FLAIR MR image.
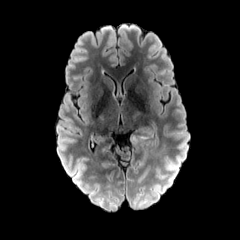
T1-weighted MRI.
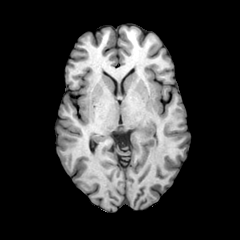
Post-contrast T1-weighted MRI.
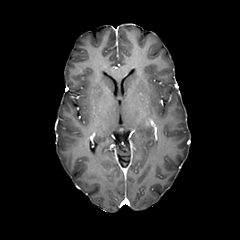
T2-weighted MRI.
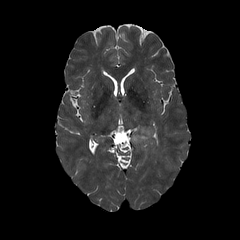
Axial slice
<segmentation>
  <peritumoral_edema>{"x1": 131, "y1": 128, "x2": 152, "y2": 143}</peritumoral_edema>
</segmentation>